FLAIR MR.
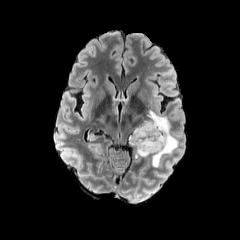
T1-weighted MR image.
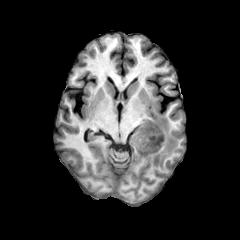
Post-contrast T1-weighted MRI.
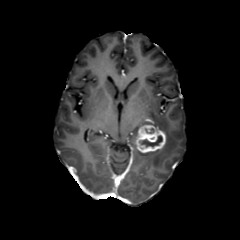
T2-weighted MR.
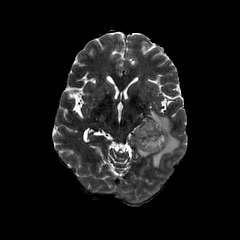
Head
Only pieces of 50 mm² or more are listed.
The enhancing tumor is at x1=134, y1=124, x2=165, y2=153. The peritumoral edema is at x1=128, y1=109, x2=178, y2=168. The largest necrotic tumor core region is located at x1=140, y1=135, x2=162, y2=146.